Slice index 55. Axial view.
FLAIR MR.
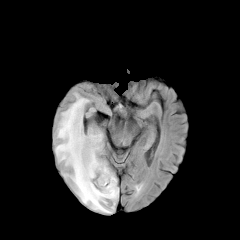
T1-weighted magnetic resonance.
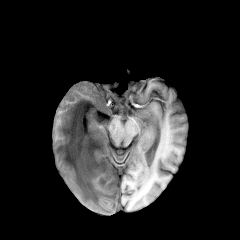
Post-contrast T1-weighted MR.
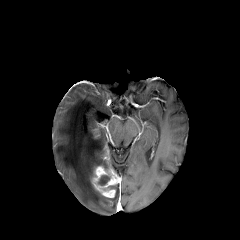
T2-weighted MRI.
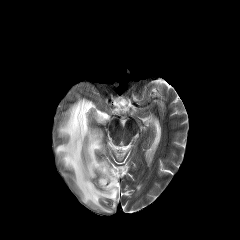
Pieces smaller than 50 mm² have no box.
peritumoral_edema:
  - bbox(55, 93, 118, 213)
necrotic_tumor_core:
  - bbox(98, 175, 109, 185)
enhancing_tumor:
  - bbox(91, 146, 119, 197)